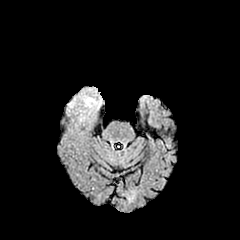
FLAIR MRI.
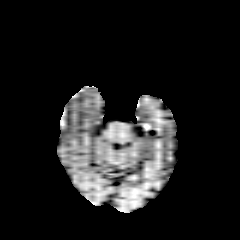
T1-weighted MR of the same slice.
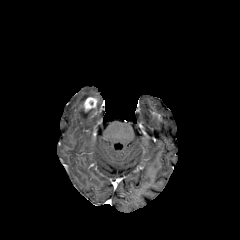
Post-contrast T1-weighted magnetic resonance of the same slice.
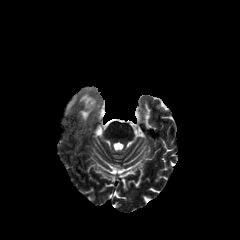
T2-weighted MR.
Axial plane | Brain
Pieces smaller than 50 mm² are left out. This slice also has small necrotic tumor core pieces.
The enhancing tumor appears at [81, 97, 98, 112]. The 3 largest peritumoral edema regions are bounded by [68, 97, 77, 110], [79, 91, 89, 102], [79, 110, 90, 121].